FLAIR magnetic resonance.
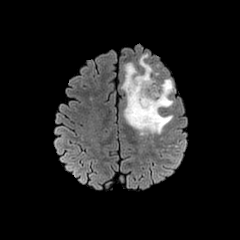
T1-weighted MR.
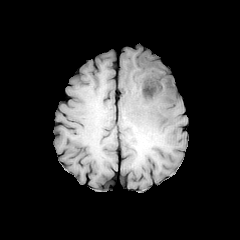
Post-contrast T1-weighted magnetic resonance.
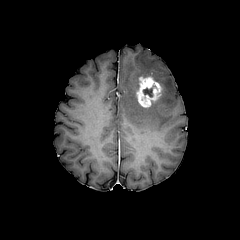
T2-weighted MR.
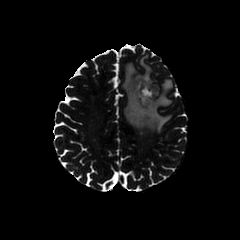
Brain
peritumoral edema: bbox(122, 55, 173, 134) | necrotic tumor core: bbox(143, 88, 152, 96) | enhancing tumor: bbox(136, 76, 162, 107)